FLAIR MR.
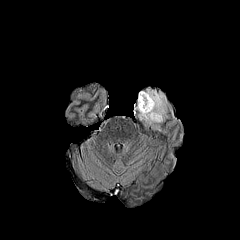
T1-weighted MRI.
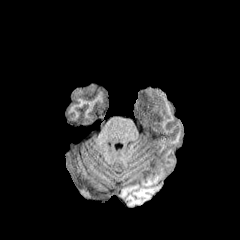
Post-contrast T1-weighted MR image.
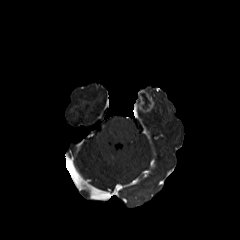
T2-weighted magnetic resonance.
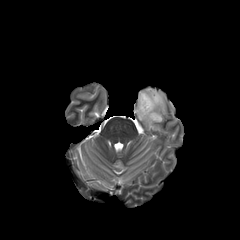
Axial slice
peritumoral edema — 136 89 167 125
enhancing tumor — 138 90 154 112
necrotic tumor core — 140 93 150 109